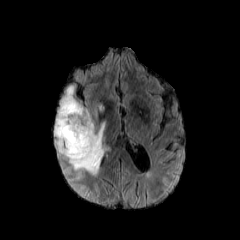
FLAIR magnetic resonance.
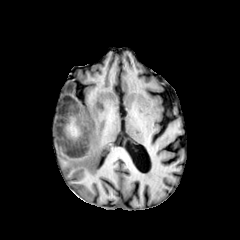
T1-weighted MR image.
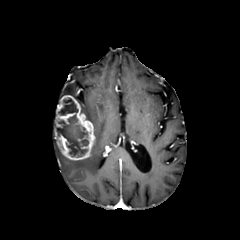
Same slice, post-contrast T1-weighted MRI.
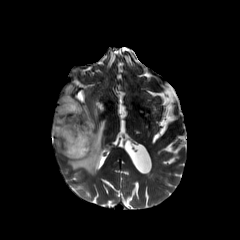
Same slice, T2-weighted magnetic resonance.
Brain | Axial plane
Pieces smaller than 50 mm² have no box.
enhancing tumor: x1=54 y1=95 x2=95 y2=160 | necrotic tumor core: x1=58 y1=98 x2=77 y2=115, x1=56 y1=115 x2=88 y2=156 | peritumoral edema: x1=65 y1=85 x2=74 y2=95, x1=68 y1=104 x2=105 y2=175